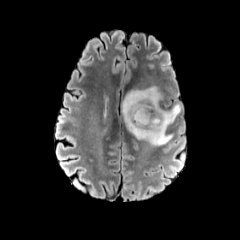
FLAIR MR.
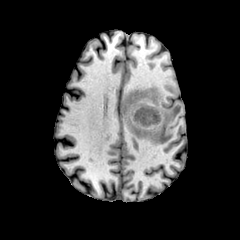
T1-weighted MR.
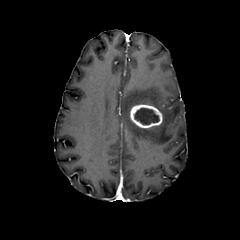
Same slice, post-contrast T1-weighted MR.
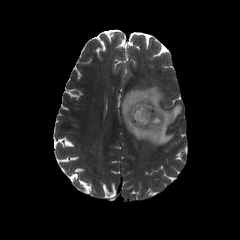
T2-weighted MR image.
Brain
<segmentation>
  <necrotic_tumor_core>box=[134, 108, 159, 124]</necrotic_tumor_core>
  <enhancing_tumor>box=[130, 104, 162, 128]</enhancing_tumor>
  <peritumoral_edema>box=[121, 86, 181, 145]</peritumoral_edema>
</segmentation>